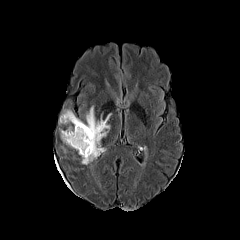
FLAIR MR image.
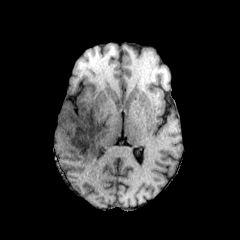
T1-weighted MRI.
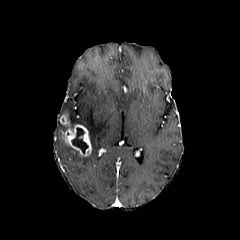
Post-contrast T1-weighted MR.
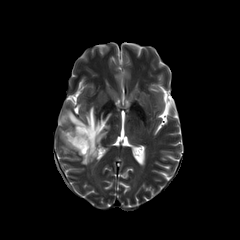
T2-weighted MR image of the same slice.
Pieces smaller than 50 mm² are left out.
enhancing tumor: bounding box <box>60,113,91,156</box>
peritumoral edema: bounding box <box>62,106,111,164</box>
necrotic tumor core: bounding box <box>71,127,88,153</box>